Image size 240x240. Axial plane. Slice 59 of 155. Brain.
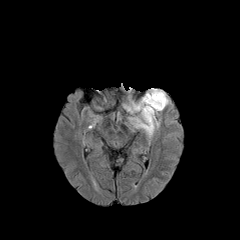
FLAIR MR.
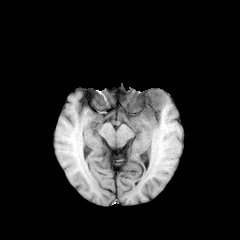
T1-weighted magnetic resonance of the same slice.
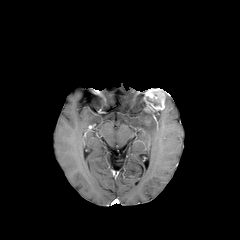
Same slice, post-contrast T1-weighted magnetic resonance.
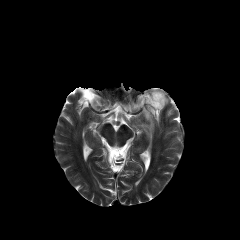
Same slice, T2-weighted magnetic resonance.
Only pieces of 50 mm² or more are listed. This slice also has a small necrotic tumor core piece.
enhancing tumor: bounding box box=[142, 88, 165, 117]
peritumoral edema: bounding box box=[124, 99, 156, 137]